FLAIR magnetic resonance.
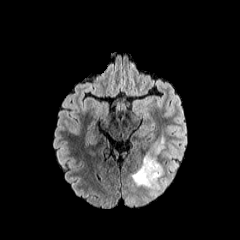
T1-weighted MR image.
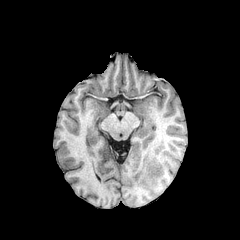
Post-contrast T1-weighted MR.
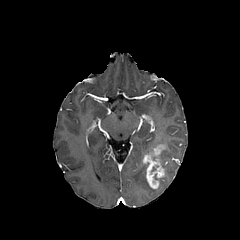
T2-weighted MR.
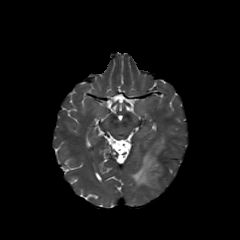
Head | Image size 240x240 | Axial slice
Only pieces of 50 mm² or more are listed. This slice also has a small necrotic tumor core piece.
peritumoral edema: bounding box [149,137,165,151], [131,162,160,192]
enhancing tumor: bounding box [143,145,164,188]